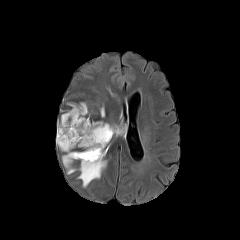
FLAIR MR image.
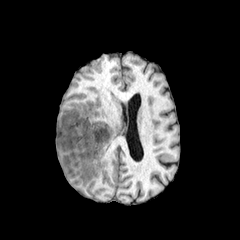
Same slice, T1-weighted magnetic resonance.
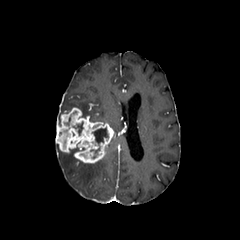
Same slice, post-contrast T1-weighted MR image.
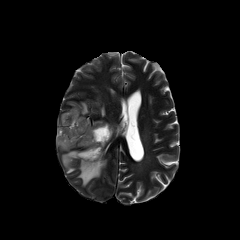
T2-weighted MR of the same slice.
240x240 px
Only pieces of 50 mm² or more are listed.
<segmentation>
  <enhancing_tumor>(55,107,114,163)</enhancing_tumor>
  <necrotic_tumor_core>(93,128,108,143)</necrotic_tumor_core>
  <peritumoral_edema>(68,102,88,117), (78,158,106,187), (110,125,119,134), (62,149,77,174)</peritumoral_edema>
</segmentation>